FLAIR MR image.
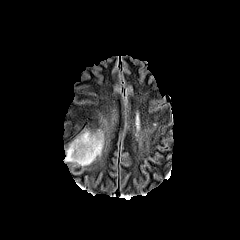
T1-weighted MR.
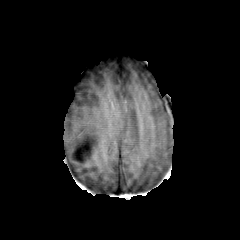
Post-contrast T1-weighted MRI.
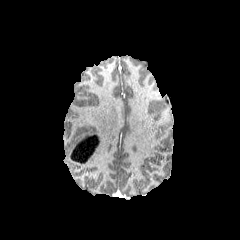
T2-weighted MRI.
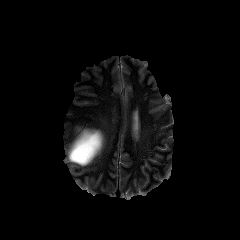
Head | Axial slice
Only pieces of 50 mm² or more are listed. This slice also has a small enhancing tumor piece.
{"peritumoral_edema": ["box=[64, 128, 104, 167]"], "necrotic_tumor_core": ["box=[70, 135, 98, 164]"]}